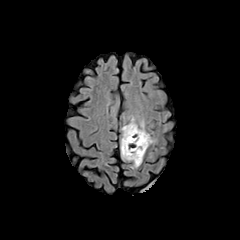
FLAIR MR image.
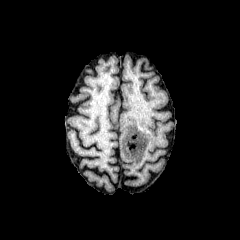
T1-weighted magnetic resonance of the same slice.
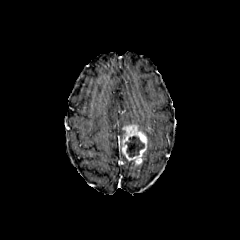
Same slice, post-contrast T1-weighted MR.
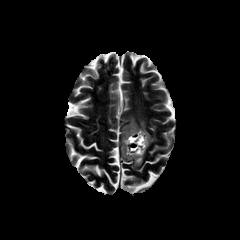
T2-weighted MRI.
Axial plane.
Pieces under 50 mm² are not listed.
• peritumoral edema: left=138, top=120, right=155, bottom=146; left=127, top=116, right=137, bottom=124
• necrotic tumor core: left=125, top=136, right=144, bottom=157
• enhancing tumor: left=121, top=124, right=147, bottom=165